Brain, Axial slice
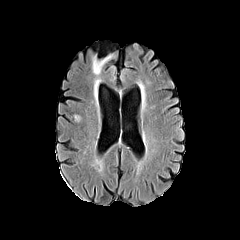
FLAIR magnetic resonance.
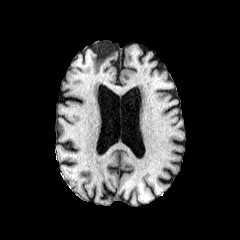
T1-weighted MRI of the same slice.
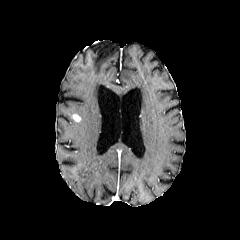
Post-contrast T1-weighted magnetic resonance of the same slice.
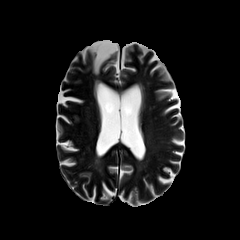
T2-weighted magnetic resonance.
The enhancing tumor is located at [x1=71, y1=114, x2=81, y2=122].